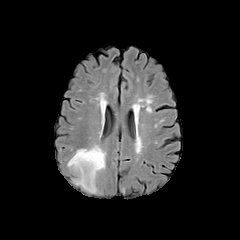
FLAIR MR image.
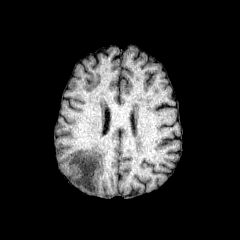
T1-weighted MR of the same slice.
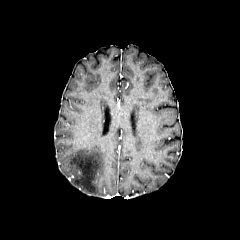
Post-contrast T1-weighted magnetic resonance of the same slice.
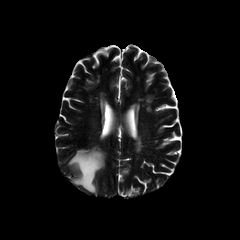
Same slice, T2-weighted MR image.
Brain; Axial slice
peritumoral edema at [68,145,105,193]